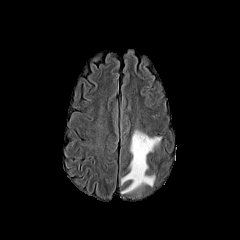
FLAIR MR image.
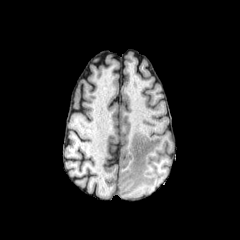
T1-weighted MR of the same slice.
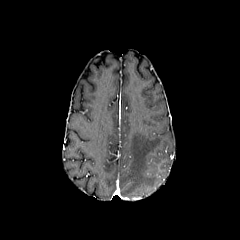
Post-contrast T1-weighted MRI of the same slice.
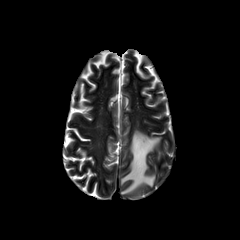
T2-weighted MRI of the same slice.
Head
peritumoral_edema:
  - 121,130,161,193